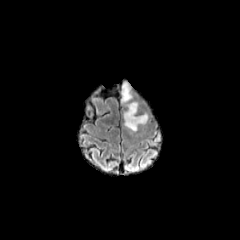
FLAIR magnetic resonance.
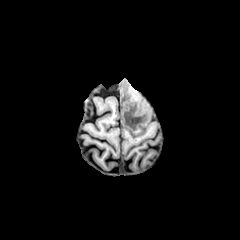
T1-weighted MR.
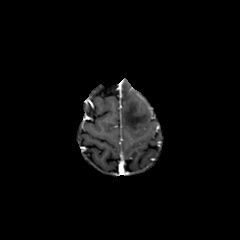
Post-contrast T1-weighted MRI.
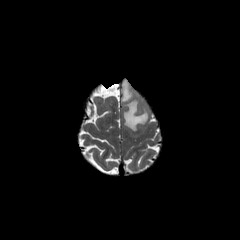
Same slice, T2-weighted MRI.
The peritumoral edema is bounded by region(121, 81, 148, 131).